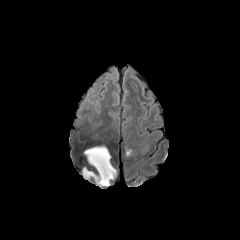
FLAIR magnetic resonance.
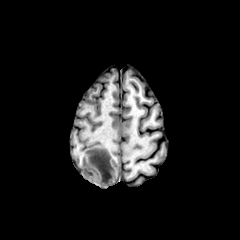
T1-weighted MR image of the same slice.
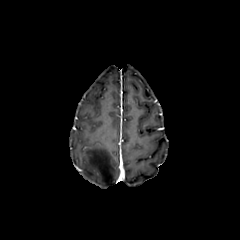
Post-contrast T1-weighted MR of the same slice.
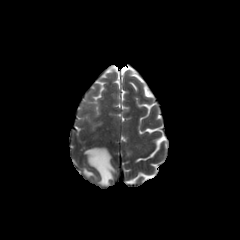
Same slice, T2-weighted MRI.
Brain
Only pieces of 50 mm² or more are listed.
peritumoral_edema:
  - {"x1": 83, "y1": 147, "x2": 116, "y2": 186}